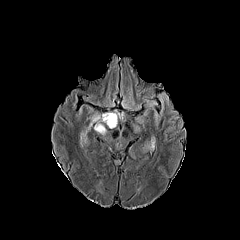
FLAIR MRI.
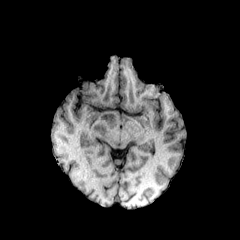
T1-weighted MR.
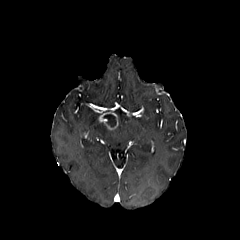
Same slice, post-contrast T1-weighted magnetic resonance.
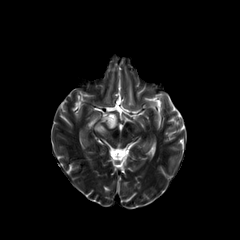
T2-weighted MRI.
Brain. 240x240.
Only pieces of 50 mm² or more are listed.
necrotic tumor core: (103, 114, 116, 127) | peritumoral edema: (94, 122, 106, 134), (89, 114, 99, 127) | enhancing tumor: (98, 112, 118, 129)